Head | Axial plane | Image width 240 mm | Image size 240x240
FLAIR magnetic resonance.
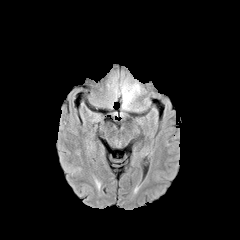
T1-weighted MRI.
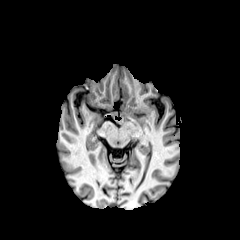
Post-contrast T1-weighted MR.
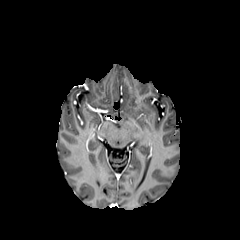
T2-weighted MRI.
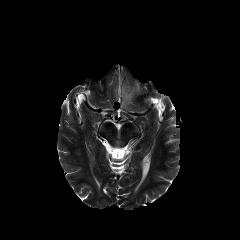
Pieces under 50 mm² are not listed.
peritumoral edema: 122:83:140:108